FLAIR MR.
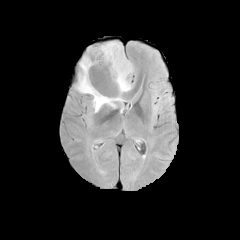
T1-weighted MRI.
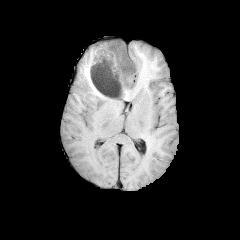
Post-contrast T1-weighted MR image.
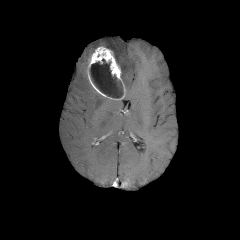
T2-weighted MRI.
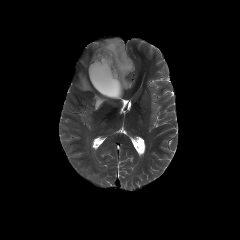
Head | 240x240 px
{
  "enhancing_tumor": [
    "x1=87, y1=46, x2=126, y2=99"
  ],
  "peritumoral_edema": [
    "x1=101, y1=41, x2=134, y2=90",
    "x1=76, y1=45, x2=122, y2=111"
  ],
  "necrotic_tumor_core": [
    "x1=90, y1=59, x2=123, y2=98"
  ]
}